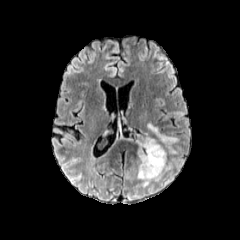
FLAIR magnetic resonance.
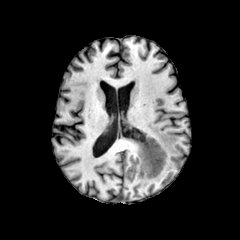
T1-weighted MR image.
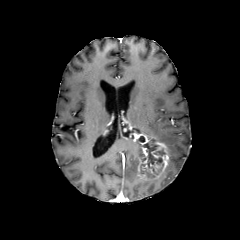
Same slice, post-contrast T1-weighted MRI.
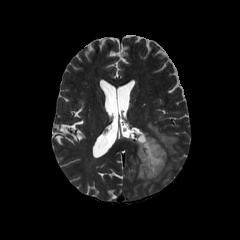
T2-weighted magnetic resonance.
Axial slice
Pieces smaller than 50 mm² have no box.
Findings:
• necrotic tumor core: (142, 140, 162, 168)
• peritumoral edema: (148, 123, 178, 154), (142, 175, 161, 186)
• enhancing tumor: (137, 133, 169, 179)